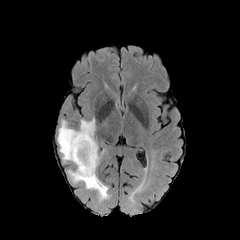
FLAIR MR.
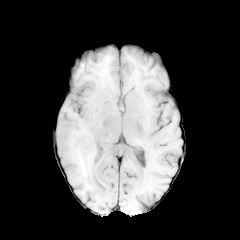
T1-weighted MRI.
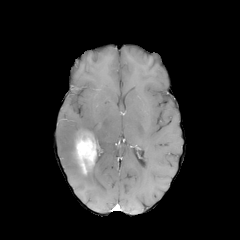
Post-contrast T1-weighted magnetic resonance.
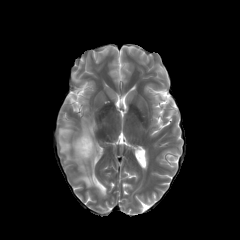
T2-weighted magnetic resonance.
Brain
The peritumoral edema is at [57,117,109,200]. The enhancing tumor is bounded by [75,131,97,174].